FLAIR MRI.
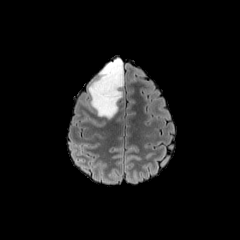
T1-weighted MR image.
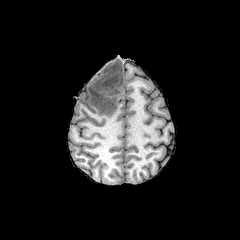
Post-contrast T1-weighted MR image.
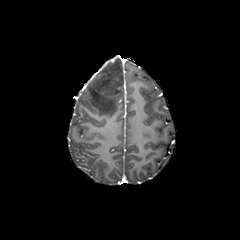
T2-weighted MR image.
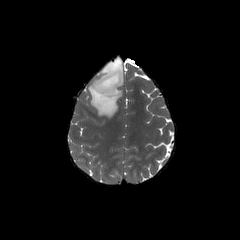
Axial plane | Head
peritumoral edema: 88,58,123,118